FLAIR MR.
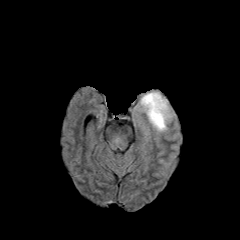
T1-weighted MRI.
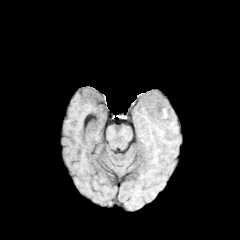
Post-contrast T1-weighted MRI.
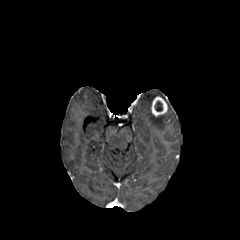
T2-weighted MR image.
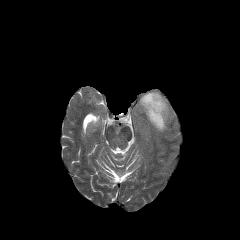
240x240 px
Annotated regions:
* necrotic tumor core: left=155, top=101, right=162, bottom=111
* peritumoral edema: left=140, top=92, right=170, bottom=131
* enhancing tumor: left=151, top=96, right=167, bottom=116